240x240; Slice index 67; Axial view
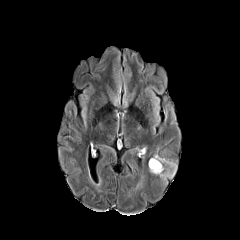
FLAIR magnetic resonance.
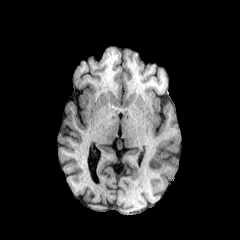
T1-weighted magnetic resonance.
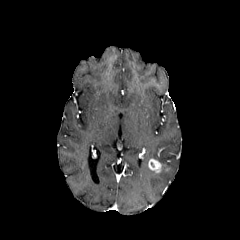
Post-contrast T1-weighted MRI.
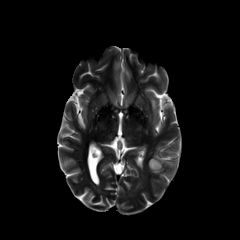
T2-weighted MR image of the same slice.
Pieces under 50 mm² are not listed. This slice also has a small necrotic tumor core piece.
The largest peritumoral edema region is at [151,154,176,180]. The enhancing tumor lies within [148,159,161,173].